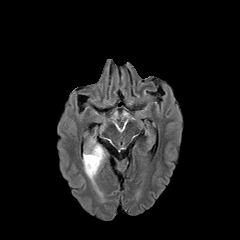
FLAIR MR.
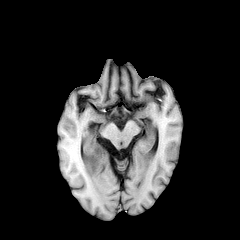
T1-weighted magnetic resonance.
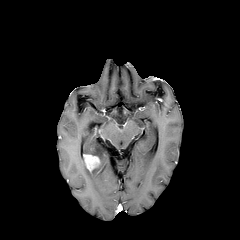
Same slice, post-contrast T1-weighted MRI.
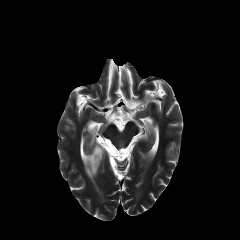
T2-weighted magnetic resonance.
240x240 px
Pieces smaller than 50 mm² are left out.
• peritumoral edema: 82:137:106:185
• enhancing tumor: 83:154:100:171